Brain; Axial plane; Slice 50/155
FLAIR MR image.
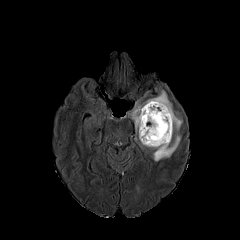
T1-weighted magnetic resonance.
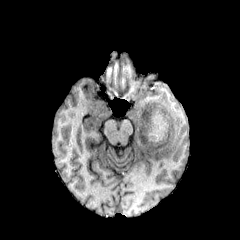
Post-contrast T1-weighted MR.
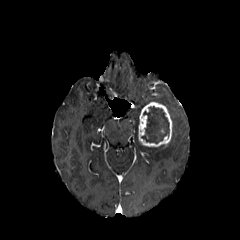
T2-weighted MR image.
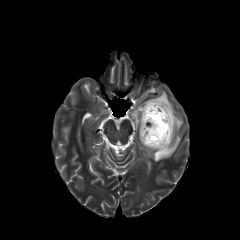
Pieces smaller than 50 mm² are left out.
peritumoral edema: {"x1": 127, "y1": 82, "x2": 183, "y2": 161} | enhancing tumor: {"x1": 138, "y1": 102, "x2": 172, "y2": 147} | necrotic tumor core: {"x1": 141, "y1": 106, "x2": 169, "y2": 143}